FLAIR MRI.
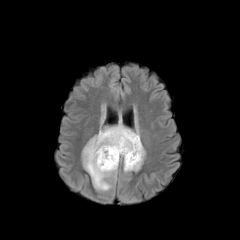
T1-weighted magnetic resonance.
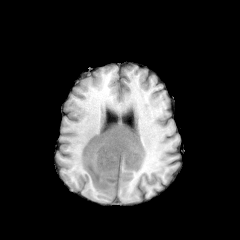
Post-contrast T1-weighted MRI.
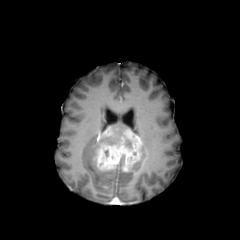
T2-weighted MR.
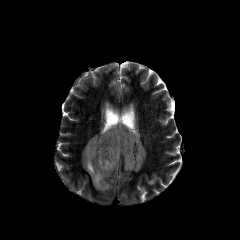
Image size 240x240. Head.
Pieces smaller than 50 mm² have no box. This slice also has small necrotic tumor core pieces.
Findings:
• peritumoral edema: bbox=[99, 116, 128, 144]; bbox=[82, 135, 118, 191]; bbox=[129, 145, 145, 171]
• enhancing tumor: bbox=[97, 126, 115, 142]; bbox=[96, 129, 141, 172]